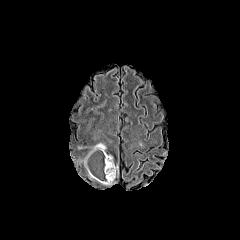
FLAIR MRI.
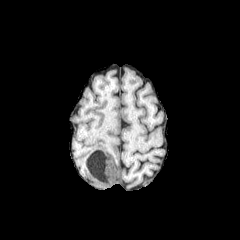
T1-weighted MR of the same slice.
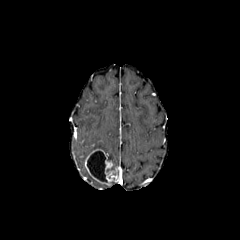
Same slice, post-contrast T1-weighted MR.
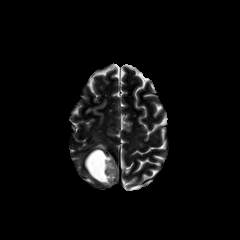
T2-weighted magnetic resonance.
Axial slice
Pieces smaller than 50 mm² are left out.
• necrotic tumor core: [87, 151, 107, 181]
• peritumoral edema: [88, 143, 105, 154]
• enhancing tumor: [84, 149, 118, 185]